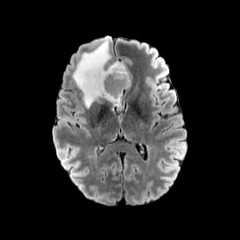
FLAIR MRI.
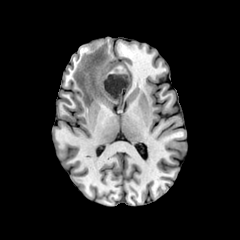
T1-weighted MR image of the same slice.
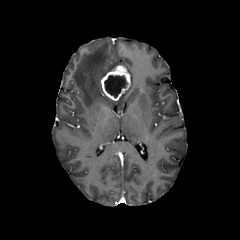
Same slice, post-contrast T1-weighted magnetic resonance.
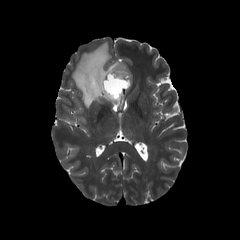
T2-weighted magnetic resonance of the same slice.
Head | Axial view
<segmentation>
  <peritumoral_edema>bbox=[72, 38, 124, 107]</peritumoral_edema>
  <necrotic_tumor_core>bbox=[104, 75, 127, 97]</necrotic_tumor_core>
  <enhancing_tumor>bbox=[101, 65, 130, 100]</enhancing_tumor>
</segmentation>